FLAIR MRI.
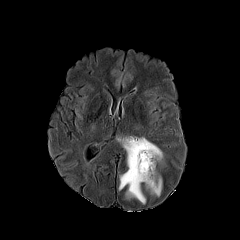
T1-weighted magnetic resonance.
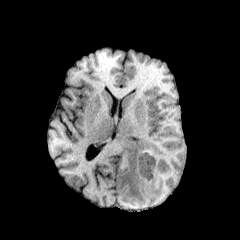
Post-contrast T1-weighted magnetic resonance.
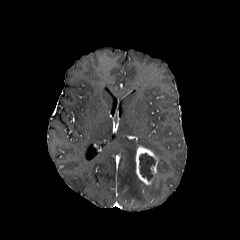
T2-weighted MRI.
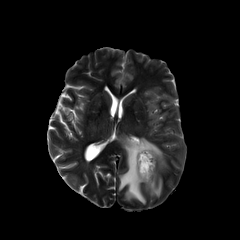
Head. Axial view.
necrotic tumor core: bbox=[139, 153, 155, 180]
enhancing tumor: bbox=[135, 145, 159, 185]
peritumoral edema: bbox=[146, 176, 162, 196]; bbox=[118, 137, 162, 203]